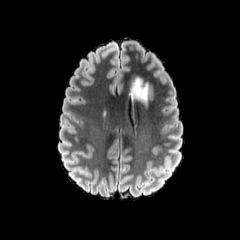
FLAIR MR image.
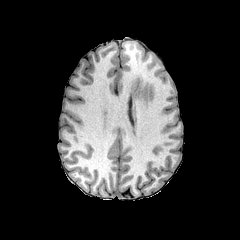
Same slice, T1-weighted MR image.
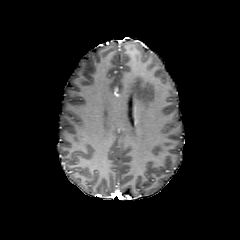
Post-contrast T1-weighted MR image.
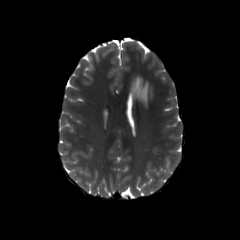
T2-weighted MRI of the same slice.
Head
The peritumoral edema lies within box=[131, 77, 148, 103].